Axial slice | Slice 87 of 155 | Image width 240 mm, 1.00 mm slice spacing
FLAIR MR.
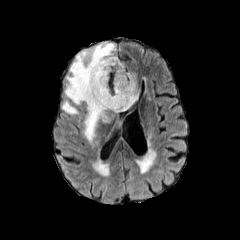
T1-weighted MRI.
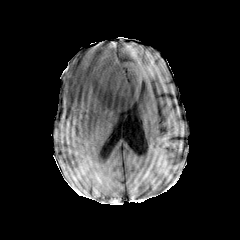
Post-contrast T1-weighted MR image.
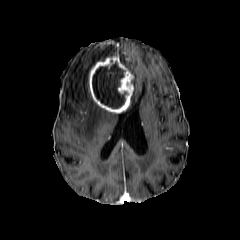
T2-weighted magnetic resonance.
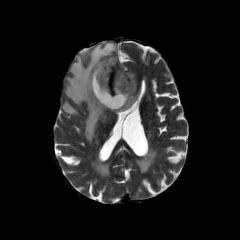
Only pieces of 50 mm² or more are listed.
The enhancing tumor is at x1=88 y1=56 x2=134 y2=113. The necrotic tumor core is at x1=92 y1=63 x2=124 y2=108. The 3 largest peritumoral edema regions are located at x1=64 y1=42 x2=116 y2=142, x1=61 y1=99 x2=80 y2=116, x1=131 y1=72 x2=138 y2=104.